Axial slice | Image size 240x240 | Brain
FLAIR MR image.
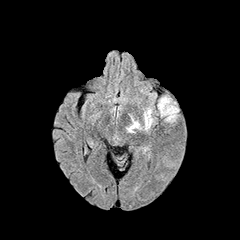
T1-weighted magnetic resonance.
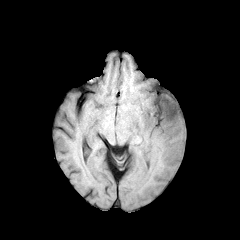
Post-contrast T1-weighted MRI.
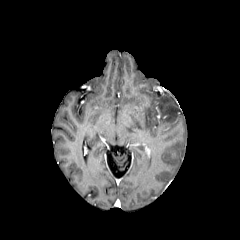
T2-weighted magnetic resonance.
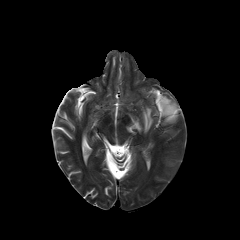
peritumoral_edema:
  - box(144, 108, 152, 130)
  - box(158, 96, 178, 122)
  - box(127, 119, 141, 132)